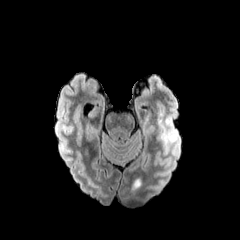
FLAIR MRI.
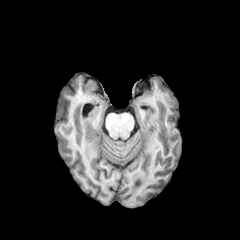
T1-weighted magnetic resonance of the same slice.
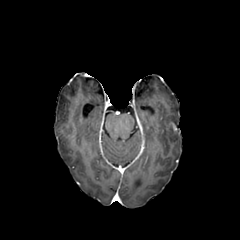
Post-contrast T1-weighted MRI.
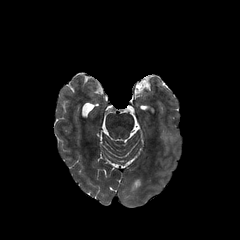
T2-weighted MR.
240x240, Axial slice, Brain
The peritumoral edema appears at region(160, 124, 177, 145).